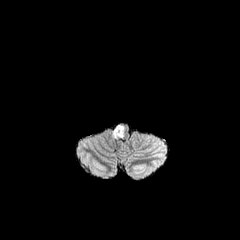
FLAIR magnetic resonance.
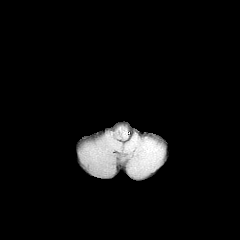
T1-weighted MR image.
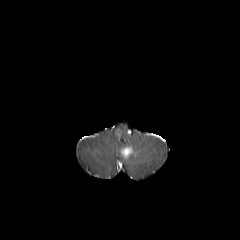
Same slice, post-contrast T1-weighted magnetic resonance.
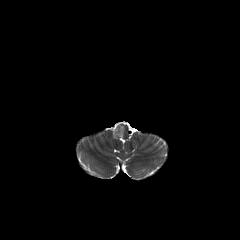
T2-weighted magnetic resonance.
{
  "enhancing_tumor": [
    "rect(115, 129, 122, 137)"
  ],
  "peritumoral_edema": [
    "rect(113, 124, 125, 139)"
  ]
}